Axial slice; Slice 89 of 155
FLAIR MRI.
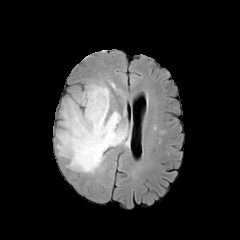
T1-weighted MR.
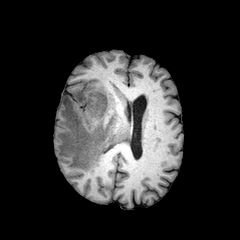
Post-contrast T1-weighted MRI.
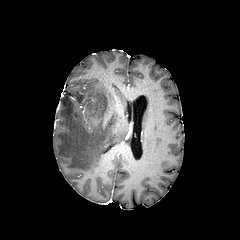
T2-weighted MRI.
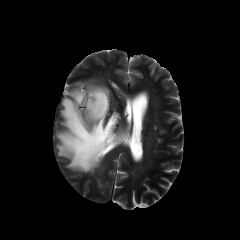
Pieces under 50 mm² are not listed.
peritumoral edema: [56,83,127,173]